Axial slice; Slice 44/155; Image size 240x240
FLAIR MRI.
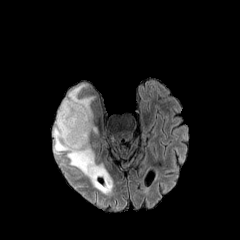
T1-weighted magnetic resonance.
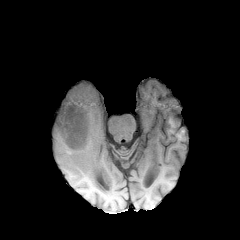
Post-contrast T1-weighted MR.
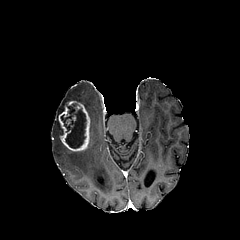
T2-weighted MR.
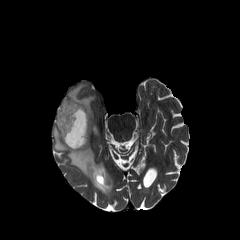
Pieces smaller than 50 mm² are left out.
<segmentation>
  <peritumoral_edema>bbox=[53, 84, 112, 194]</peritumoral_edema>
  <enhancing_tumor>bbox=[58, 100, 90, 151]</enhancing_tumor>
  <necrotic_tumor_core>bbox=[61, 103, 86, 148]</necrotic_tumor_core>
</segmentation>